Brain.
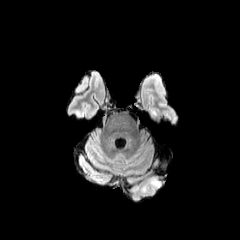
FLAIR MR.
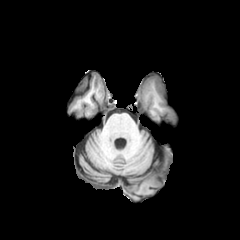
Same slice, T1-weighted MRI.
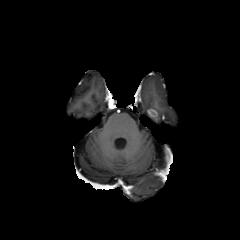
Post-contrast T1-weighted magnetic resonance.
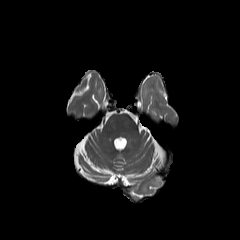
T2-weighted magnetic resonance of the same slice.
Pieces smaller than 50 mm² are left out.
Findings:
* enhancing tumor: bbox(146, 108, 157, 117)
* peritumoral edema: bbox(149, 179, 159, 186)